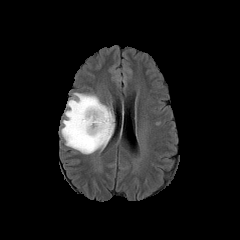
FLAIR magnetic resonance.
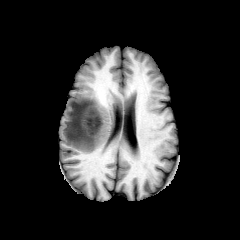
T1-weighted MRI.
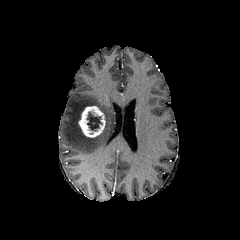
Same slice, post-contrast T1-weighted magnetic resonance.
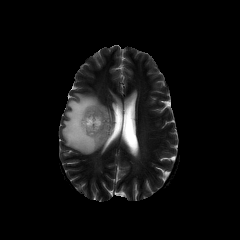
T2-weighted magnetic resonance.
Axial slice | 240x240 px | Brain
The necrotic tumor core is located at (left=87, top=112, right=102, bottom=130). The enhancing tumor is located at (left=78, top=106, right=105, bottom=137). The peritumoral edema lies within (left=61, top=93, right=113, bottom=154).